FLAIR magnetic resonance.
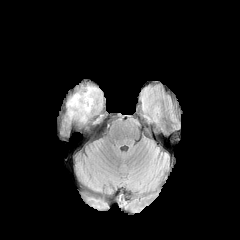
T1-weighted MR image.
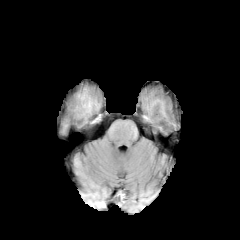
Post-contrast T1-weighted MR image.
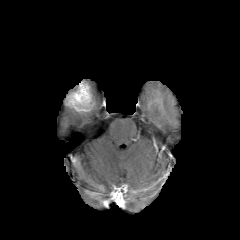
T2-weighted magnetic resonance.
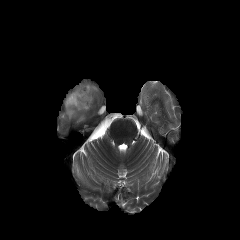
Brain.
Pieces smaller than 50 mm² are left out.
{"enhancing_tumor": ["region(66, 83, 91, 111)"], "peritumoral_edema": ["region(67, 106, 84, 118)", "region(83, 87, 95, 110)"]}